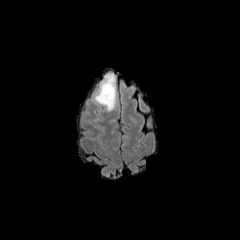
FLAIR MRI.
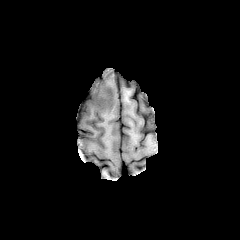
T1-weighted magnetic resonance of the same slice.
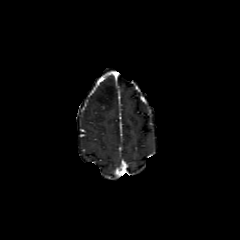
Post-contrast T1-weighted MRI of the same slice.
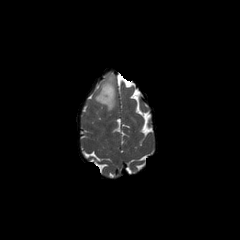
T2-weighted MR image.
Head.
peritumoral edema: (94, 74, 116, 111)